FLAIR MRI.
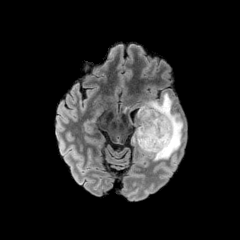
T1-weighted magnetic resonance.
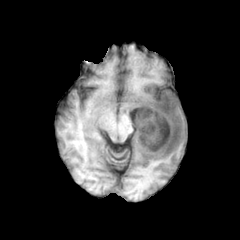
Post-contrast T1-weighted magnetic resonance.
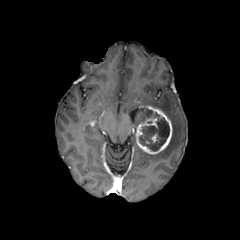
T2-weighted MRI.
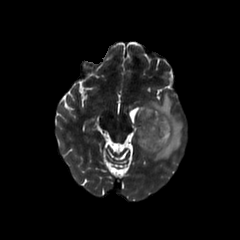
Image size 240x240; Head
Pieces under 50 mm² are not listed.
The largest peritumoral edema region is bounded by 139, 93, 183, 160. The 2 largest necrotic tumor core regions appear at 143, 108, 152, 120; 139, 117, 169, 151. The largest enhancing tumor region lies within 135, 105, 172, 154.